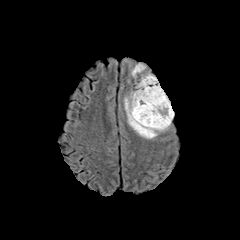
FLAIR MR.
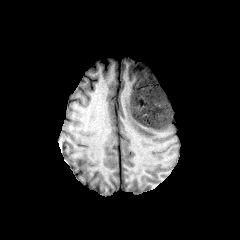
T1-weighted magnetic resonance of the same slice.
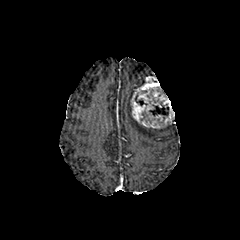
Post-contrast T1-weighted magnetic resonance of the same slice.
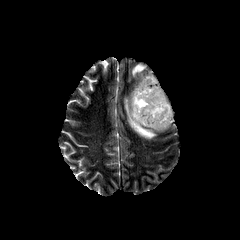
T2-weighted MR.
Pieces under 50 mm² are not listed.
necrotic tumor core: {"x1": 149, "y1": 106, "x2": 168, "y2": 115}
peritumoral edema: {"x1": 124, "y1": 92, "x2": 169, "y2": 138}, {"x1": 132, "y1": 64, "x2": 145, "y2": 76}
enhancing tumor: {"x1": 130, "y1": 75, "x2": 174, "y2": 128}